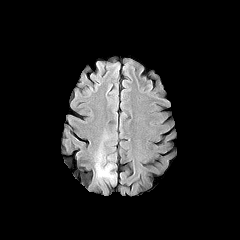
FLAIR magnetic resonance.
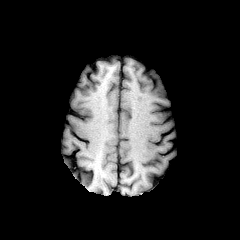
T1-weighted MRI of the same slice.
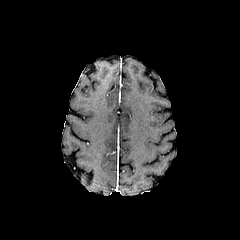
Post-contrast T1-weighted magnetic resonance.
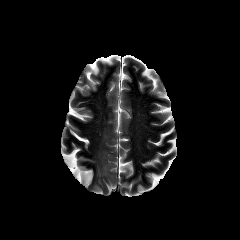
T2-weighted MR image.
Head
Findings:
- peritumoral edema: (97, 163, 111, 177)